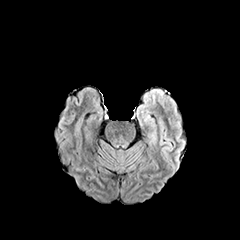
FLAIR MRI.
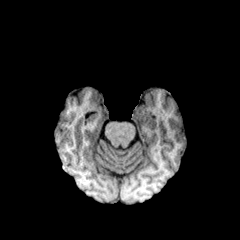
Same slice, T1-weighted MRI.
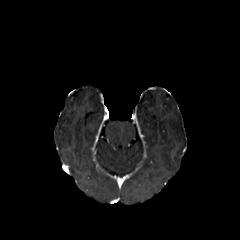
Post-contrast T1-weighted magnetic resonance of the same slice.
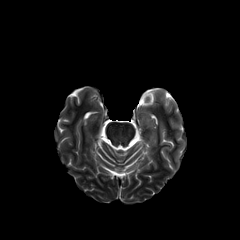
T2-weighted MR image.
Brain. Axial view.
peritumoral edema = [149, 129, 156, 144]